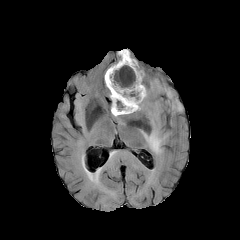
FLAIR MRI.
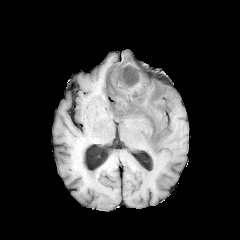
Same slice, T1-weighted MR.
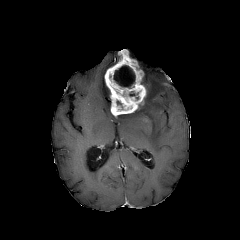
Post-contrast T1-weighted MR image.
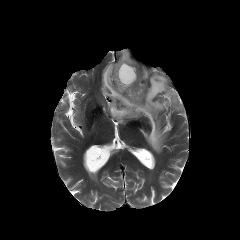
T2-weighted MR image of the same slice.
Axial plane, Brain
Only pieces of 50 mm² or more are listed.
necrotic tumor core — 113,65,135,88
peritumoral edema — 112,78,182,154
enhancing tumor — 104,49,146,116